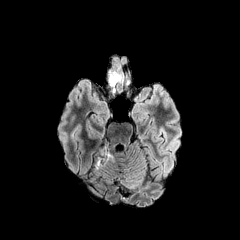
FLAIR MRI.
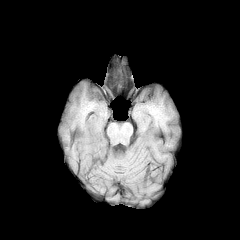
Same slice, T1-weighted MR image.
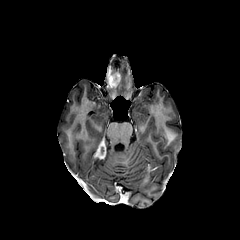
Post-contrast T1-weighted magnetic resonance.
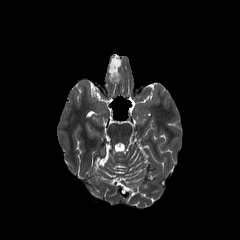
T2-weighted MR.
Brain, Image size 240x240
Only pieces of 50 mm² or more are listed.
enhancing tumor: 97,144,105,158; 109,73,120,86 | peritumoral edema: 94,148,114,168